Slice index 97.
FLAIR MRI.
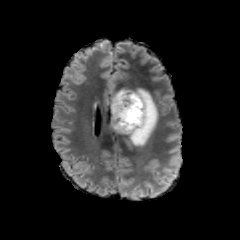
T1-weighted magnetic resonance.
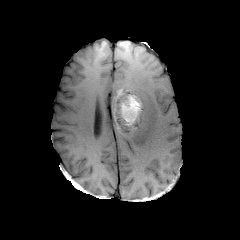
Post-contrast T1-weighted magnetic resonance.
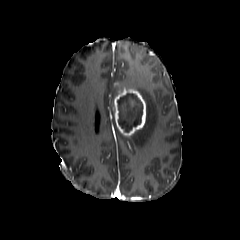
T2-weighted magnetic resonance.
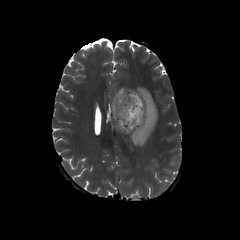
2 peritumoral edema regions appear at rect(111, 88, 131, 134); rect(127, 88, 158, 146). The necrotic tumor core is at rect(117, 93, 142, 132). The enhancing tumor appears at rect(113, 89, 146, 135).